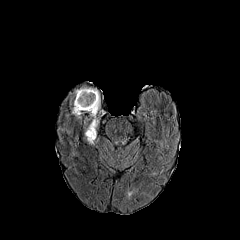
FLAIR magnetic resonance.
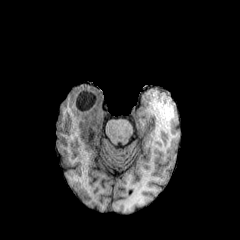
T1-weighted MR of the same slice.
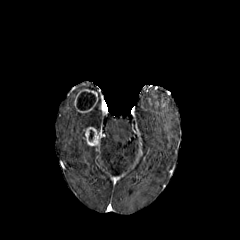
Post-contrast T1-weighted MR.
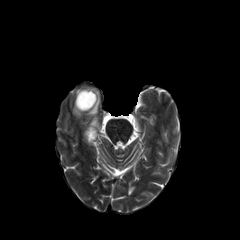
T2-weighted magnetic resonance.
Head
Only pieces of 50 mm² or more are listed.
{
  "enhancing_tumor": [
    "(84, 126, 99, 146)",
    "(74, 89, 98, 113)"
  ],
  "necrotic_tumor_core": [
    "(77, 91, 95, 110)"
  ],
  "peritumoral_edema": [
    "(68, 85, 100, 129)"
  ]
}